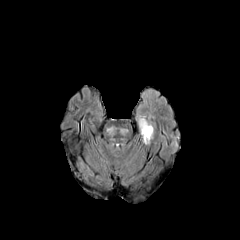
FLAIR magnetic resonance.
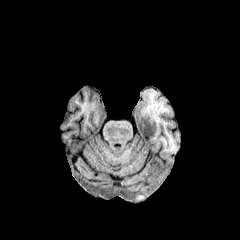
Same slice, T1-weighted MR.
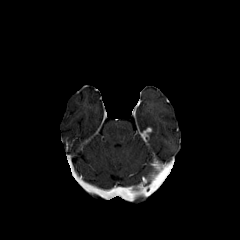
Post-contrast T1-weighted MRI.
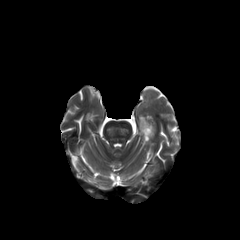
T2-weighted MR image of the same slice.
Brain; Axial view; 240x240
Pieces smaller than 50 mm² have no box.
peritumoral edema at <bbox>137, 116, 153, 144</bbox>
enhancing tumor at <bbox>140, 127, 152, 142</bbox>